FLAIR MRI.
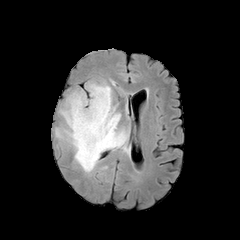
T1-weighted MR image.
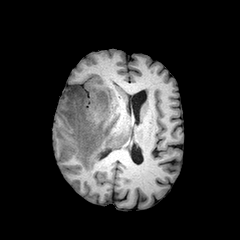
Post-contrast T1-weighted magnetic resonance.
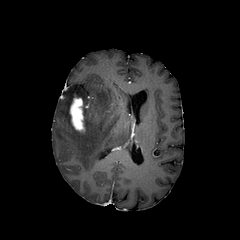
T2-weighted MR.
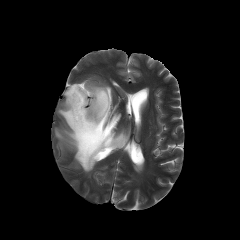
Head.
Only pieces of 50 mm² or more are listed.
enhancing tumor: 69:96:84:131
peritumoral edema: 55:81:129:172